Axial slice; Image covers 240 mm x 240 mm
FLAIR MRI.
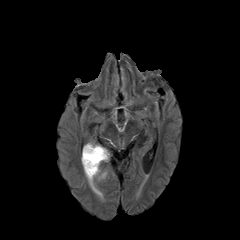
T1-weighted MR image.
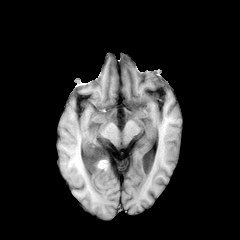
Post-contrast T1-weighted MR.
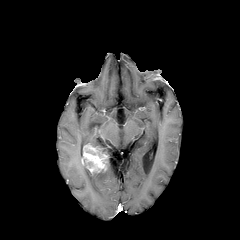
T2-weighted MR.
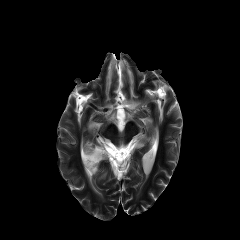
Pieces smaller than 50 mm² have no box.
enhancing tumor: box(81, 144, 108, 174) | peritumoral edema: box(83, 165, 102, 197)